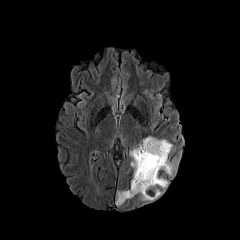
FLAIR magnetic resonance.
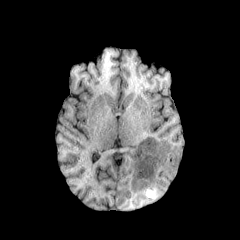
T1-weighted MR.
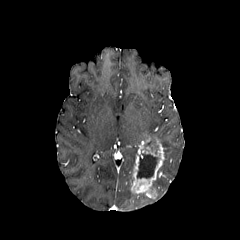
Post-contrast T1-weighted MRI.
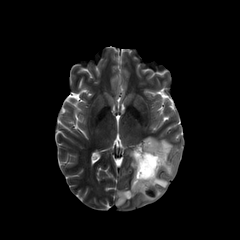
T2-weighted MRI.
240x240.
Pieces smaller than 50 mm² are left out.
Annotated regions:
- enhancing tumor: bbox=[130, 137, 164, 194]
- peritumoral edema: bbox=[140, 177, 168, 200]; bbox=[159, 139, 175, 175]; bbox=[129, 149, 137, 167]; bbox=[116, 190, 135, 206]
- necrotic tumor core: bbox=[137, 154, 158, 178]